FLAIR MRI.
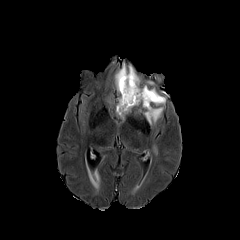
T1-weighted MRI.
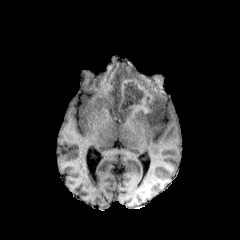
Post-contrast T1-weighted MRI.
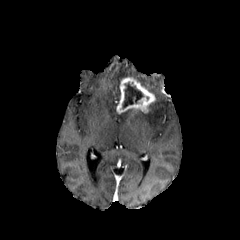
T2-weighted MRI.
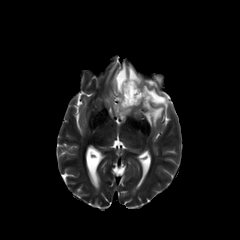
240x240 px; Head
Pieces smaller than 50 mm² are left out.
enhancing_tumor:
  - 116,76,155,113
necrotic_tumor_core:
  - 123,83,143,108
peritumoral_edema:
  - 115,63,140,95
  - 116,109,130,119
  - 143,85,166,125